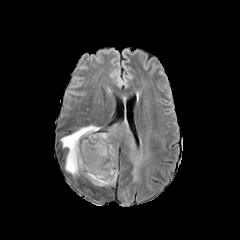
FLAIR magnetic resonance.
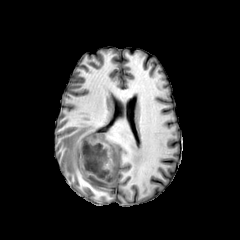
Same slice, T1-weighted MRI.
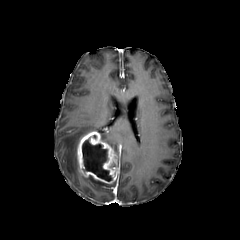
Post-contrast T1-weighted MR of the same slice.
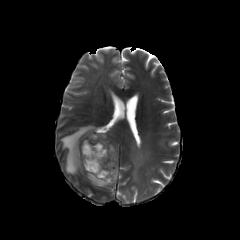
T2-weighted magnetic resonance.
Axial slice.
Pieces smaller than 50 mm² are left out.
Annotated regions:
- peritumoral edema: <box>88,176,114,186</box>, <box>99,127,142,182</box>, <box>61,125,99,175</box>
- enhancing tumor: <box>77,131,119,183</box>
- necrotic tumor core: <box>82,138,112,181</box>